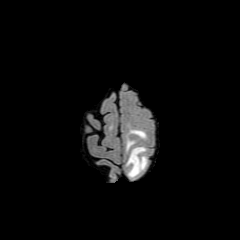
FLAIR magnetic resonance.
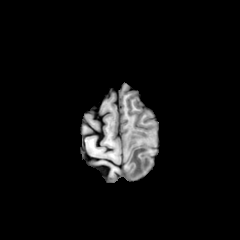
Same slice, T1-weighted magnetic resonance.
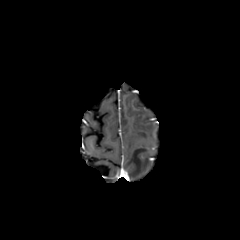
Post-contrast T1-weighted MR.
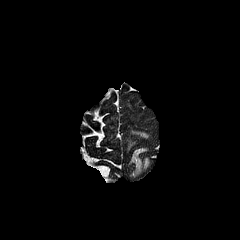
Same slice, T2-weighted MRI.
Head
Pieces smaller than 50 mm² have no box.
peritumoral edema: bounding box (x1=130, y1=130, x2=146, y2=137), (x1=128, y1=147, x2=147, y2=176)